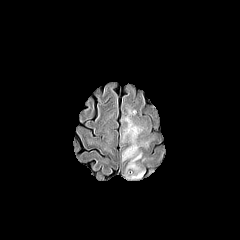
FLAIR MRI.
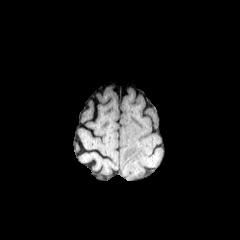
Same slice, T1-weighted MRI.
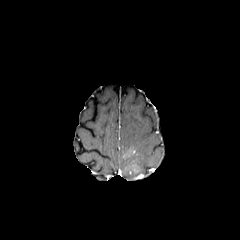
Post-contrast T1-weighted MRI.
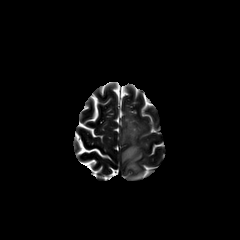
T2-weighted MRI of the same slice.
Head. Axial slice.
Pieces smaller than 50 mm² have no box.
enhancing tumor — (124,160,140,174), (123,146,135,160)
peritumoral edema — (121,108,150,161)